Image covers 240 mm x 240 mm | Slice 81 of 155 | 240x240 px
FLAIR MRI.
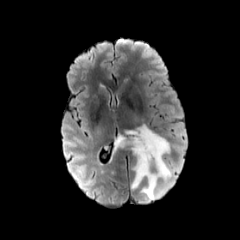
T1-weighted MRI.
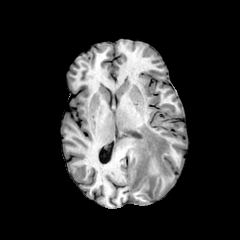
Post-contrast T1-weighted magnetic resonance.
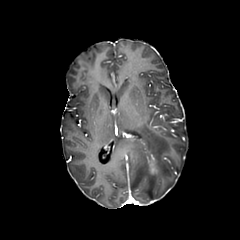
T2-weighted MR.
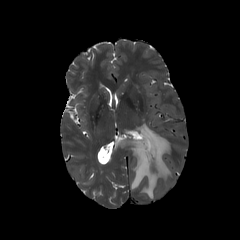
peritumoral_edema:
  - (114, 124, 171, 199)
enhancing_tumor:
  - (148, 156, 155, 173)